Axial slice, Image size 240x240, Brain
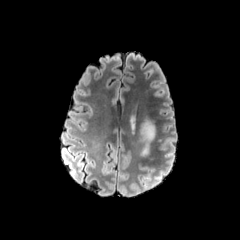
FLAIR MR.
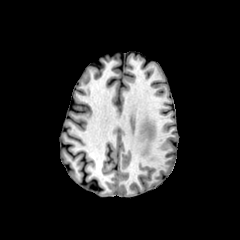
T1-weighted MR image.
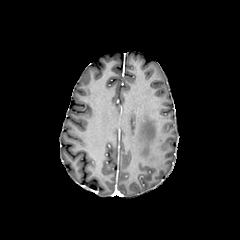
Post-contrast T1-weighted magnetic resonance of the same slice.
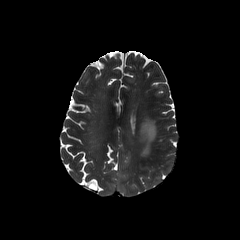
T2-weighted MR image.
peritumoral edema: [141, 121, 154, 155]